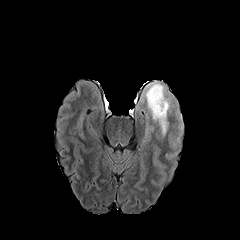
FLAIR MR.
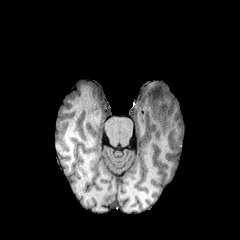
T1-weighted MR.
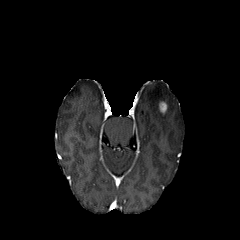
Post-contrast T1-weighted MR image.
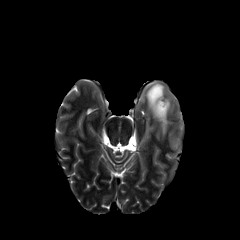
T2-weighted MR image.
Axial view
enhancing tumor: bounding box {"x1": 159, "y1": 101, "x2": 167, "y2": 114}
peritumoral edema: bounding box {"x1": 145, "y1": 81, "x2": 172, "y2": 136}